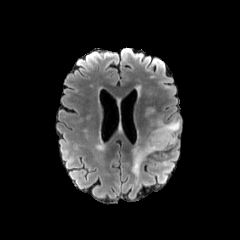
FLAIR magnetic resonance.
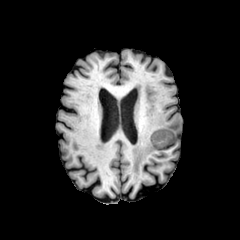
T1-weighted MR of the same slice.
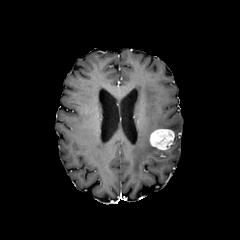
Post-contrast T1-weighted MR.
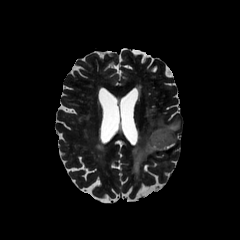
T2-weighted MR of the same slice.
Brain. Axial slice.
peritumoral edema: (131, 107, 180, 175)
enhancing tumor: (150, 129, 174, 150)